Head, Axial slice
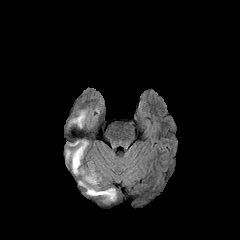
FLAIR magnetic resonance.
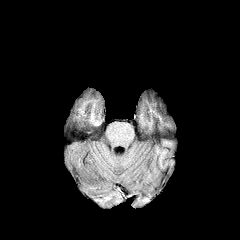
T1-weighted MR image of the same slice.
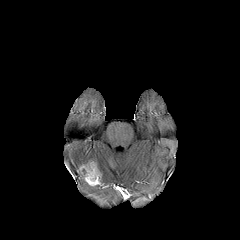
Post-contrast T1-weighted MR image.
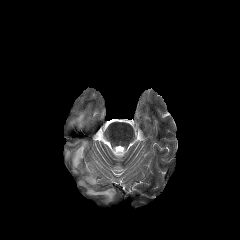
T2-weighted MR.
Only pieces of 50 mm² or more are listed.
Annotated regions:
* peritumoral edema: (79,179,115,200), (66,141,87,173), (71,111,85,127)
* enhancing tumor: (77,162,100,186)